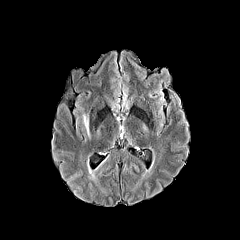
FLAIR MR image.
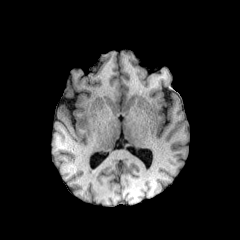
T1-weighted MRI.
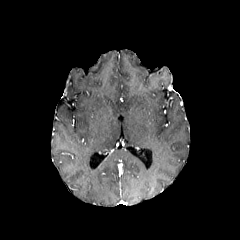
Post-contrast T1-weighted MR image of the same slice.
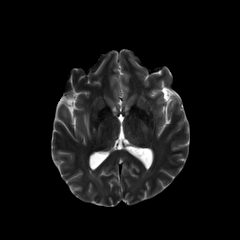
Same slice, T2-weighted MR image.
peritumoral edema = x1=83, y1=115, x2=89, y2=136